FLAIR MRI.
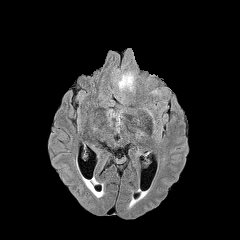
T1-weighted magnetic resonance.
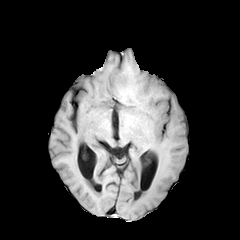
Post-contrast T1-weighted MR.
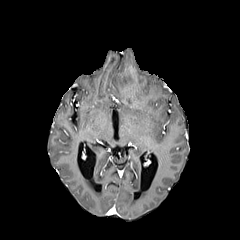
T2-weighted MR.
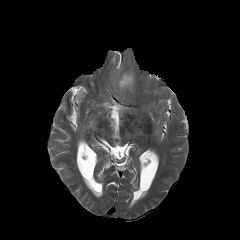
<segmentation>
  <peritumoral_edema><bbox>118, 73, 133, 88</bbox></peritumoral_edema>
</segmentation>